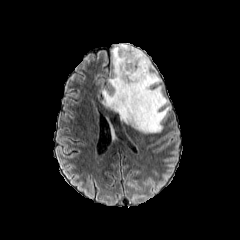
FLAIR magnetic resonance.
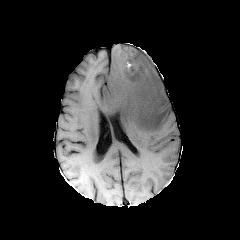
T1-weighted MRI.
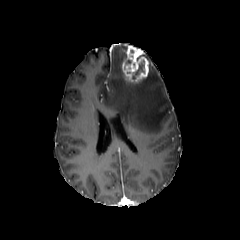
Post-contrast T1-weighted magnetic resonance.
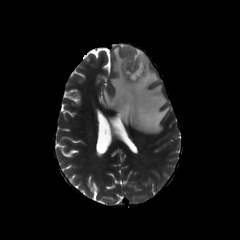
T2-weighted MR image.
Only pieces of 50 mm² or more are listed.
Findings:
* necrotic tumor core: (135,60,144,74)
* enhancing tumor: (122,45,149,83)
* peritumoral edema: (102,43,170,133)